Slice 135/155
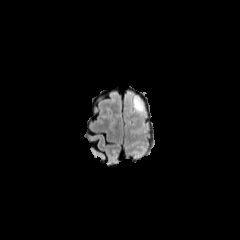
FLAIR magnetic resonance.
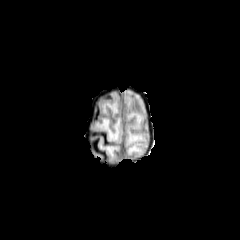
T1-weighted MRI.
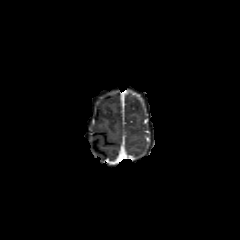
Post-contrast T1-weighted MR image of the same slice.
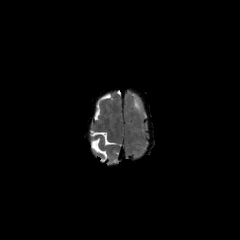
T2-weighted MR image of the same slice.
{
  "peritumoral_edema": [
    "133 97 143 111"
  ]
}